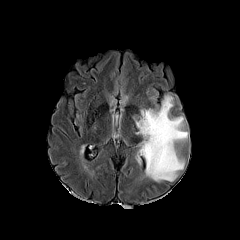
FLAIR magnetic resonance.
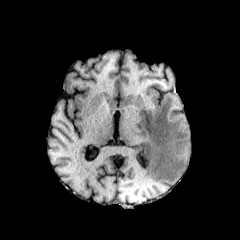
Same slice, T1-weighted magnetic resonance.
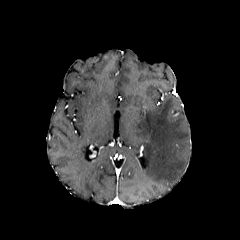
Post-contrast T1-weighted MR of the same slice.
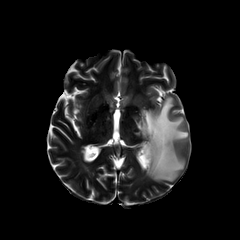
T2-weighted MR of the same slice.
Head. Image size 240x240. Axial view.
<segmentation>
  <peritumoral_edema>(132,93,188,181)</peritumoral_edema>
</segmentation>